FLAIR MR image.
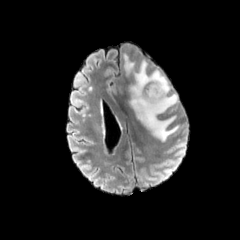
T1-weighted MR image.
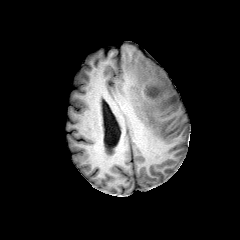
Post-contrast T1-weighted MR.
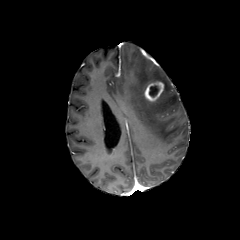
T2-weighted MR.
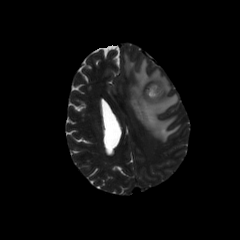
Brain
Findings:
• peritumoral edema: <box>124,53,178,141</box>
• necrotic tumor core: <box>149,85,159,96</box>
• enhancing tumor: <box>144,81,164,101</box>